FLAIR MRI.
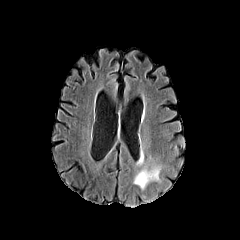
T1-weighted magnetic resonance.
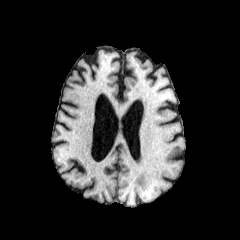
Post-contrast T1-weighted MRI.
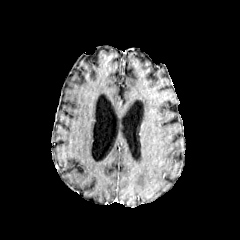
T2-weighted magnetic resonance.
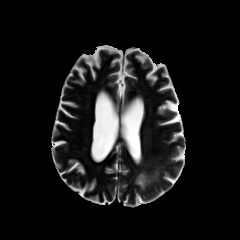
Axial slice | Head
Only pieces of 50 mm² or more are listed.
• peritumoral edema: 134,168,159,188